Axial plane | Slice 63/155
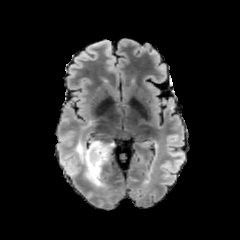
FLAIR MR.
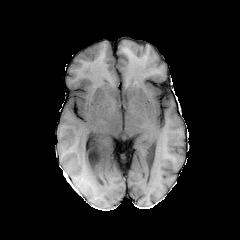
T1-weighted MR image.
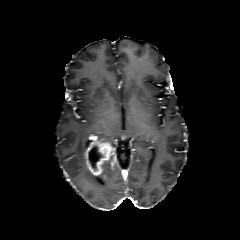
Post-contrast T1-weighted magnetic resonance.
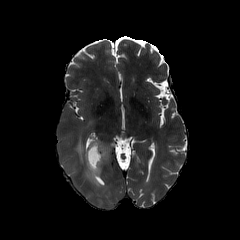
T2-weighted MR image.
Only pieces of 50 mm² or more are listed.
The largest peritumoral edema region is bounded by (left=74, top=136, right=103, bottom=187). The enhancing tumor is at (left=85, top=136, right=113, bottom=176). The necrotic tumor core is at (left=89, top=146, right=102, bottom=169).